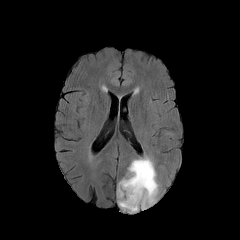
FLAIR MR.
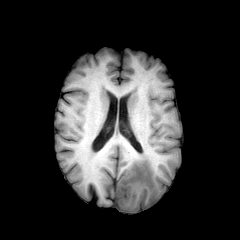
T1-weighted MRI of the same slice.
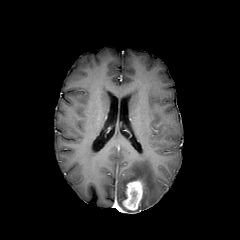
Post-contrast T1-weighted MR.
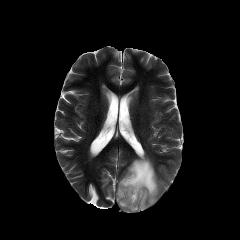
T2-weighted MR image.
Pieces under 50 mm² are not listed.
The enhancing tumor is bounded by bbox=[122, 180, 143, 210]. The largest peritumoral edema region is at bbox=[117, 157, 159, 210].